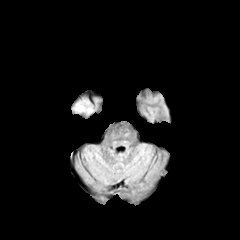
FLAIR magnetic resonance.
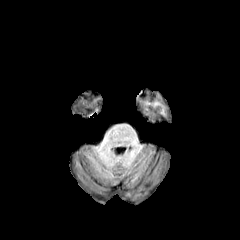
Same slice, T1-weighted MRI.
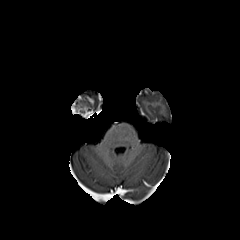
Post-contrast T1-weighted MR of the same slice.
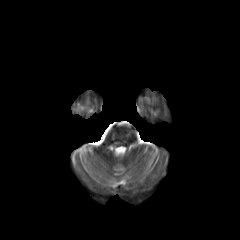
T2-weighted magnetic resonance.
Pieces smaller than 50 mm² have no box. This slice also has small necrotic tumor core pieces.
The enhancing tumor appears at [71, 103, 92, 117].